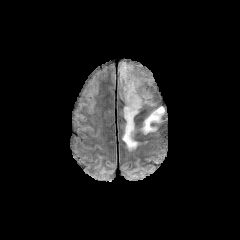
FLAIR MR image.
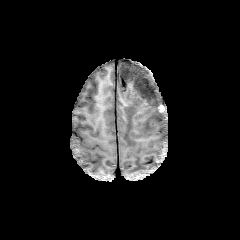
T1-weighted MR.
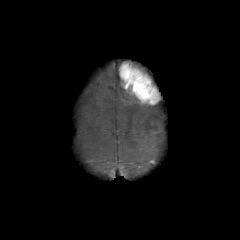
Post-contrast T1-weighted magnetic resonance.
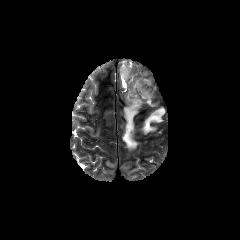
T2-weighted MR.
peritumoral edema at (122,92,140,149), (142,107,164,133)
enhancing tumor at (119,62,162,105)